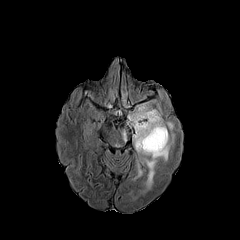
FLAIR magnetic resonance.
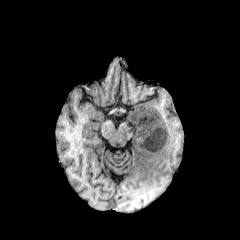
T1-weighted MRI of the same slice.
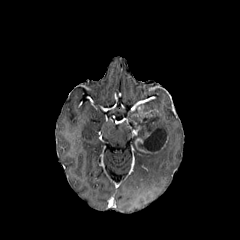
Post-contrast T1-weighted magnetic resonance.
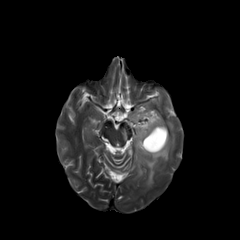
T2-weighted MR image.
Image size 240x240; Brain; Axial view
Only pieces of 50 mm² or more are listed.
peritumoral edema: 166 121 173 130, 133 104 174 194, 120 124 126 142, 128 106 138 121 | enhancing tumor: 132 107 153 117 | necrotic tumor core: 129 112 166 152